FLAIR MR image.
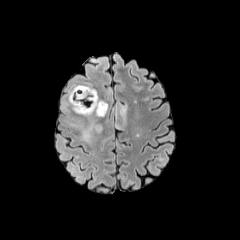
T1-weighted MR image.
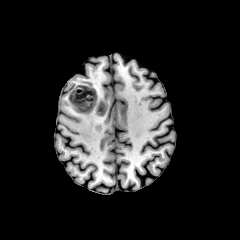
Post-contrast T1-weighted MRI.
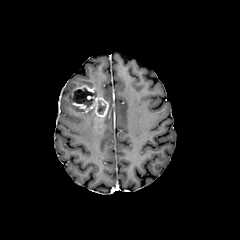
T2-weighted MR image.
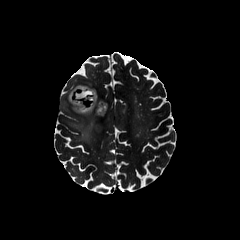
Head
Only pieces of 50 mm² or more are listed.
{
  "necrotic_tumor_core": [
    "73 88 94 107",
    "97 101 105 114"
  ],
  "enhancing_tumor": [
    "71 85 108 117"
  ],
  "peritumoral_edema": [
    "68 89 102 142"
  ]
}